FLAIR magnetic resonance.
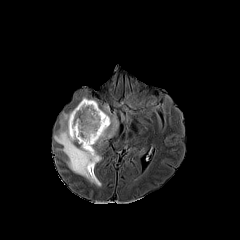
T1-weighted MR image.
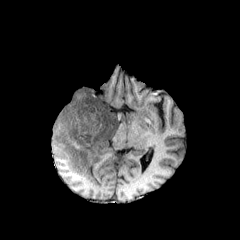
Post-contrast T1-weighted MR image.
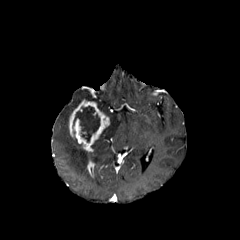
T2-weighted magnetic resonance.
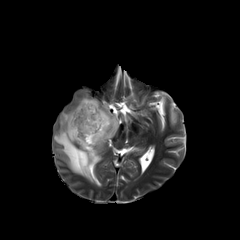
Brain
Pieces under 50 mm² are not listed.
necrotic_tumor_core:
  - (73, 106, 99, 141)
peritumoral_edema:
  - (54, 104, 118, 186)
enhancing_tumor:
  - (69, 99, 109, 152)
  - (87, 160, 94, 176)